Axial view; 240x240; Slice index 107
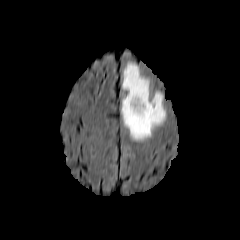
FLAIR MR.
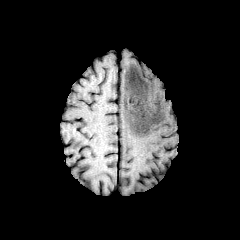
T1-weighted MRI.
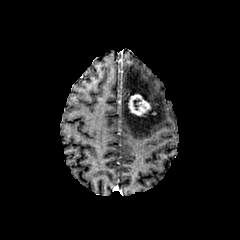
Post-contrast T1-weighted magnetic resonance of the same slice.
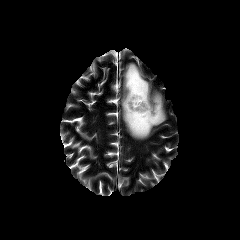
T2-weighted MRI of the same slice.
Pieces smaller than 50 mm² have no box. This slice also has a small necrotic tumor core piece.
* peritumoral edema: bbox(121, 62, 166, 140)
* enhancing tumor: bbox(128, 94, 151, 116)